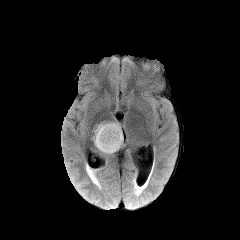
FLAIR MRI.
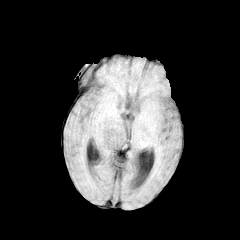
T1-weighted MRI of the same slice.
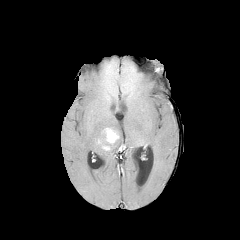
Post-contrast T1-weighted MR.
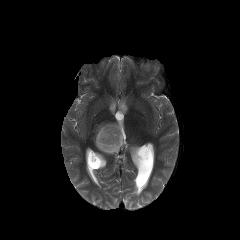
T2-weighted magnetic resonance.
Brain.
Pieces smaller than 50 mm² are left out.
The largest enhancing tumor region appears at x1=102 y1=128 x2=119 y2=144. The peritumoral edema is located at x1=93 y1=122 x2=123 y2=154.